FLAIR MR.
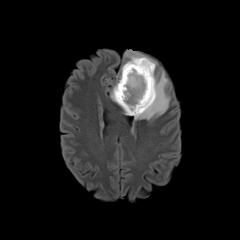
T1-weighted MR.
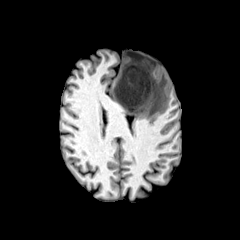
Post-contrast T1-weighted MR image.
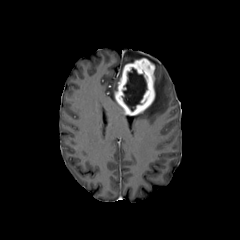
T2-weighted MR.
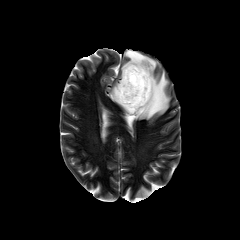
240x240. Axial view.
necrotic tumor core: left=122, top=68, right=146, bottom=111 | enhancing tumor: left=114, top=58, right=155, bottom=115 | peritumoral edema: left=121, top=50, right=156, bottom=75; left=111, top=82, right=117, bottom=101; left=134, top=70, right=170, bottom=119